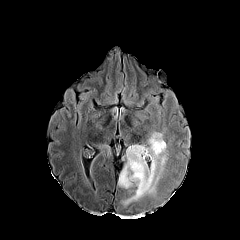
FLAIR MR image.
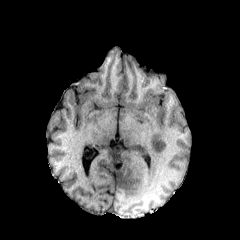
T1-weighted MR.
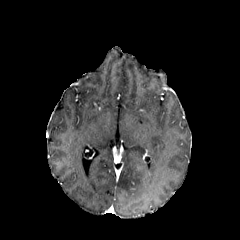
Post-contrast T1-weighted MRI.
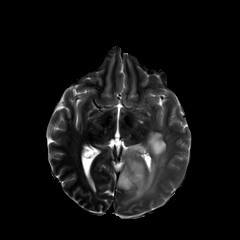
T2-weighted MR of the same slice.
Axial view
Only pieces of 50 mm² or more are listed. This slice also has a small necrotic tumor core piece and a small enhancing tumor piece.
The peritumoral edema appears at x1=118, y1=132, x2=166, y2=204.